Axial slice, Slice 73/155
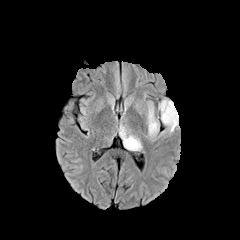
FLAIR MRI.
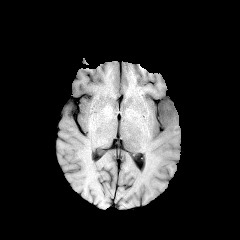
T1-weighted magnetic resonance.
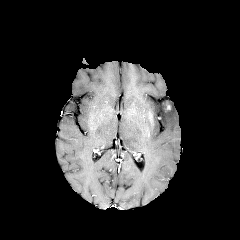
Post-contrast T1-weighted MRI.
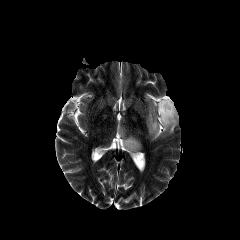
T2-weighted MR of the same slice.
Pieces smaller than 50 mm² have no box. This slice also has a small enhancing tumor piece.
peritumoral edema: <bbox>119, 126, 142, 151</bbox>, <bbox>147, 99, 178, 137</bbox>